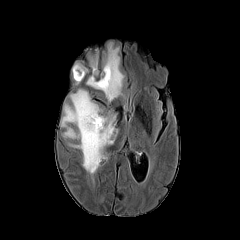
FLAIR magnetic resonance.
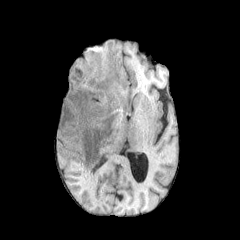
T1-weighted magnetic resonance.
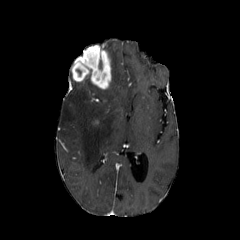
Same slice, post-contrast T1-weighted magnetic resonance.
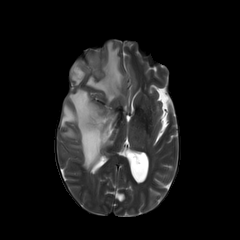
T2-weighted MRI.
Axial view; Brain
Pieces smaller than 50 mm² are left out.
<segmentation>
  <peritumoral_edema>(left=86, top=42, right=124, bottom=102), (left=61, top=88, right=117, bottom=173)</peritumoral_edema>
  <necrotic_tumor_core>(left=98, top=60, right=103, bottom=71)</necrotic_tumor_core>
  <enhancing_tumor>(left=71, top=46, right=111, bottom=89)</enhancing_tumor>
</segmentation>